FLAIR MR image.
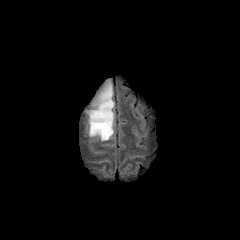
T1-weighted MRI.
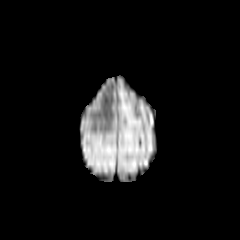
Post-contrast T1-weighted MR image.
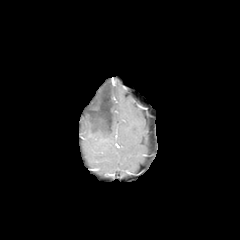
T2-weighted magnetic resonance.
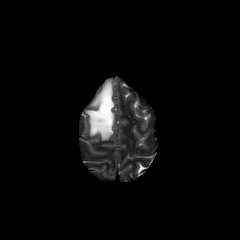
Head
The peritumoral edema appears at [86, 80, 114, 140].